Slice 46/155 | Head | Axial slice
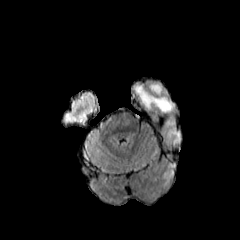
FLAIR MR image.
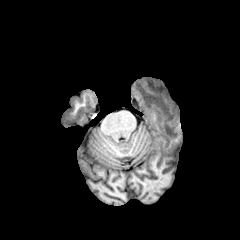
Same slice, T1-weighted MR image.
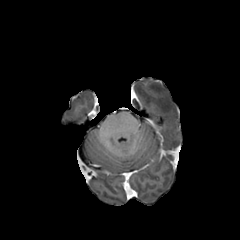
Same slice, post-contrast T1-weighted magnetic resonance.
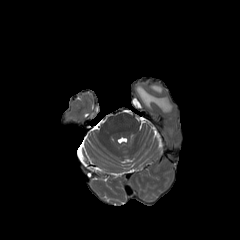
Same slice, T2-weighted magnetic resonance.
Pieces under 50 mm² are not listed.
peritumoral edema: (left=135, top=84, right=173, bottom=112)